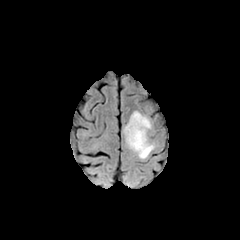
FLAIR magnetic resonance.
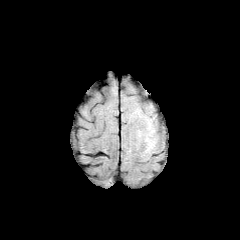
T1-weighted magnetic resonance of the same slice.
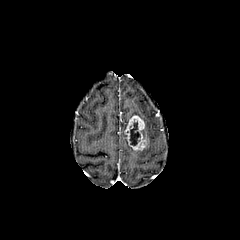
Post-contrast T1-weighted MR image.
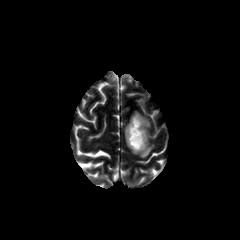
Same slice, T2-weighted magnetic resonance.
Head. Axial view.
<segmentation>
  <peritumoral_edema>123 111 154 158</peritumoral_edema>
  <enhancing_tumor>125 115 147 151</enhancing_tumor>
  <necrotic_tumor_core>130 122 140 145</necrotic_tumor_core>
</segmentation>